FLAIR magnetic resonance.
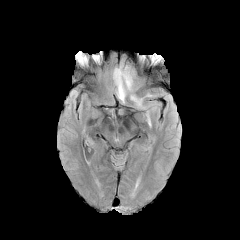
T1-weighted magnetic resonance.
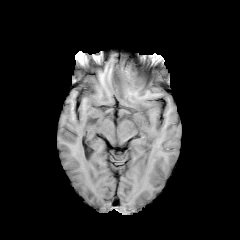
Post-contrast T1-weighted MR.
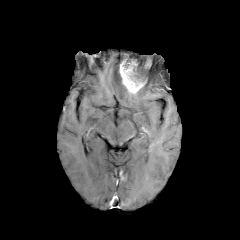
T2-weighted MRI.
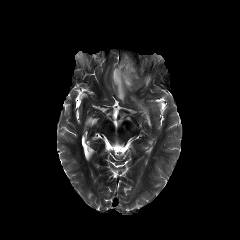
Brain, Axial view
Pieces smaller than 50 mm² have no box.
The largest necrotic tumor core region lies within 124 56 146 82. The enhancing tumor appears at 119 58 145 93. The 2 largest peritumoral edema regions appear at 112 67 129 103, 130 87 161 109.